FLAIR MR.
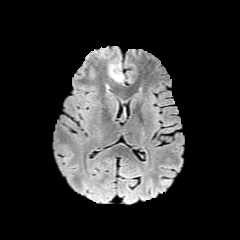
T1-weighted magnetic resonance.
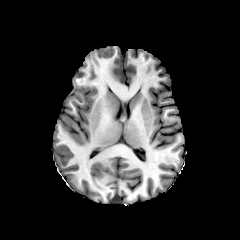
Post-contrast T1-weighted MRI.
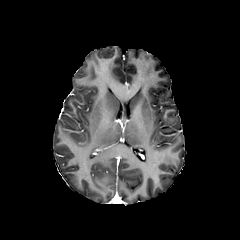
T2-weighted magnetic resonance.
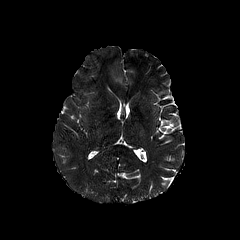
Head | 240x240 px
peritumoral edema = (left=110, top=70, right=123, bottom=82)